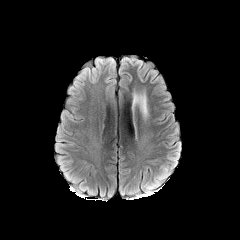
FLAIR MR image.
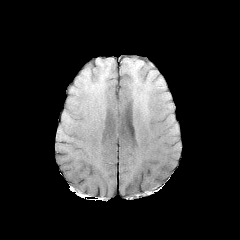
T1-weighted MR of the same slice.
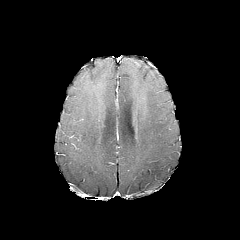
Post-contrast T1-weighted MR image of the same slice.
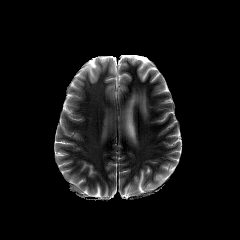
T2-weighted MR.
Brain, Image size 240x240
peritumoral_edema:
  - l=133, t=94, r=147, b=116